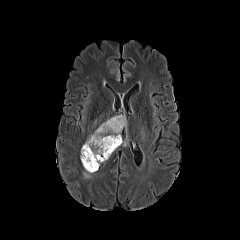
FLAIR MR.
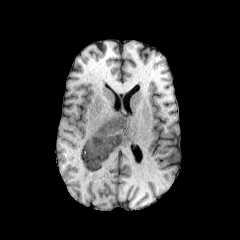
T1-weighted MR image.
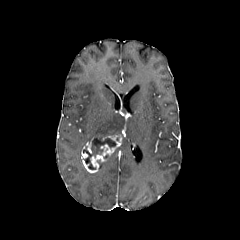
Post-contrast T1-weighted MR.
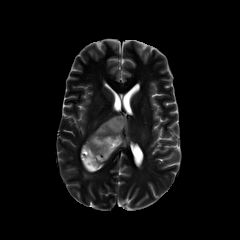
T2-weighted MRI.
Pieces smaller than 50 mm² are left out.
peritumoral edema: bounding box [87, 115, 126, 141]
necrotic tumor core: bounding box [83, 136, 116, 169]
enhancing tumor: bounding box [81, 135, 121, 172]